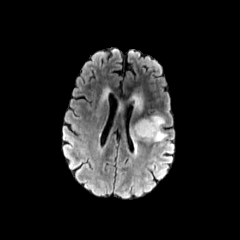
FLAIR MRI.
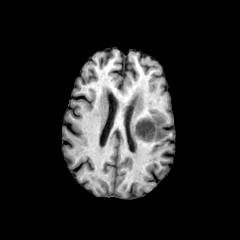
T1-weighted MRI of the same slice.
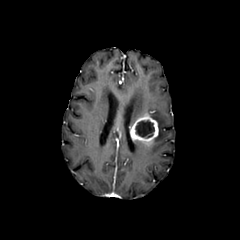
Post-contrast T1-weighted magnetic resonance.
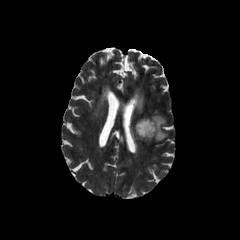
T2-weighted MR image.
Head.
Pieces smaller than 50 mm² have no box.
{"enhancing_tumor": ["region(130, 112, 158, 144)"], "necrotic_tumor_core": ["region(135, 120, 154, 137)"], "peritumoral_edema": ["region(150, 114, 167, 141)", "region(134, 95, 142, 112)"]}